FLAIR MR.
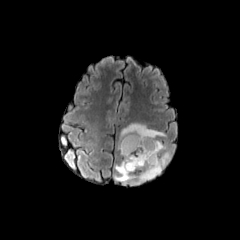
T1-weighted magnetic resonance.
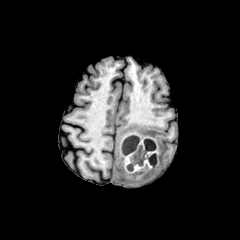
Post-contrast T1-weighted MRI.
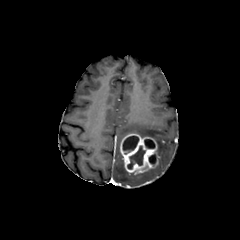
T2-weighted MR.
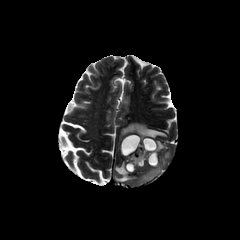
Image size 240x240.
The peritumoral edema is at (114,122,170,184). The enhancing tumor is located at (120,133,158,174). 4 necrotic tumor core regions are located at (144,139,154,148), (149,154,156,164), (127,146,145,169), (123,136,139,152).